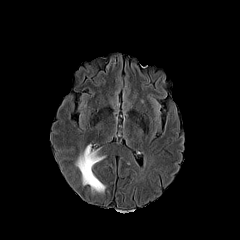
FLAIR magnetic resonance.
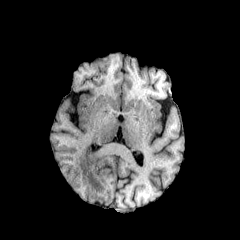
T1-weighted magnetic resonance.
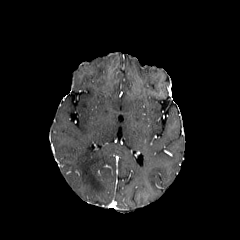
Same slice, post-contrast T1-weighted MR image.
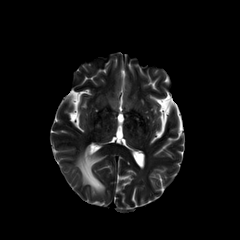
Same slice, T2-weighted magnetic resonance.
Image size 240x240; Axial plane
{"peritumoral_edema": ["75,145,105,192"]}